Slice index 55. Axial view. 240x240. Head.
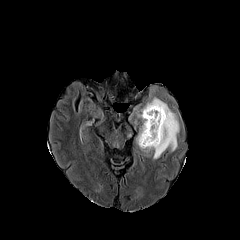
FLAIR MRI.
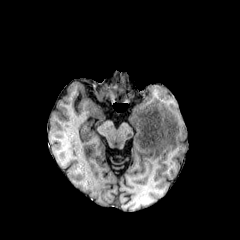
T1-weighted magnetic resonance of the same slice.
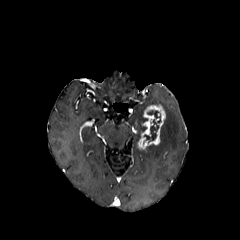
Post-contrast T1-weighted magnetic resonance.
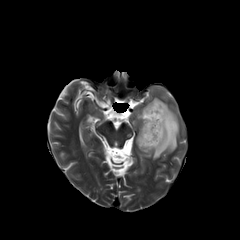
T2-weighted MR image.
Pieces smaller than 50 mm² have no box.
peritumoral edema: bounding box <bbox>136, 127, 143, 145</bbox>, <bbox>136, 97, 179, 159</bbox>
necrotic tumor core: bounding box <bbox>144, 110, 160, 141</bbox>
enhancing tumor: bounding box <bbox>138, 104, 165, 149</bbox>